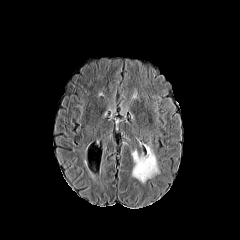
FLAIR MR.
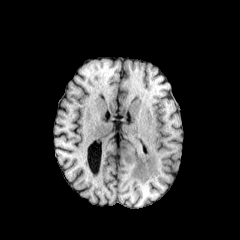
Same slice, T1-weighted magnetic resonance.
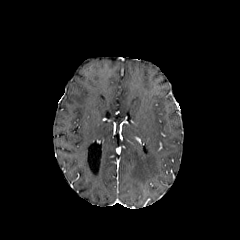
Post-contrast T1-weighted MR of the same slice.
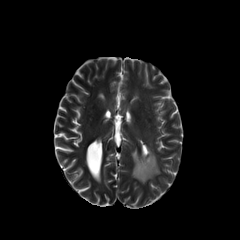
T2-weighted magnetic resonance.
Head
peritumoral edema = x1=132 y1=146 x2=159 y2=183